Brain. Axial plane. Image covers 240 mm x 240 mm.
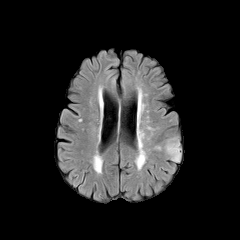
FLAIR MRI.
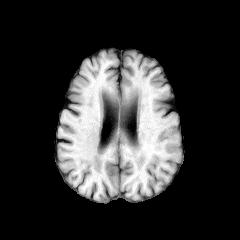
T1-weighted MRI.
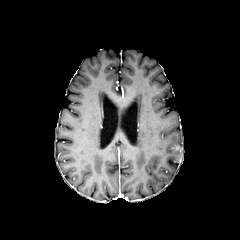
Same slice, post-contrast T1-weighted MR.
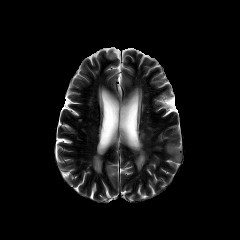
T2-weighted magnetic resonance.
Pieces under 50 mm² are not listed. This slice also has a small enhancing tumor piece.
{
  "peritumoral_edema": [
    "rect(165, 137, 181, 161)"
  ]
}